FLAIR MR image.
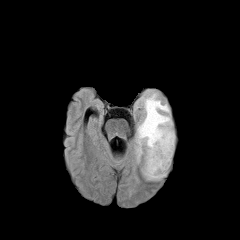
T1-weighted MR image.
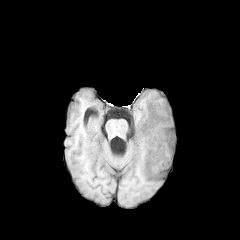
Post-contrast T1-weighted magnetic resonance.
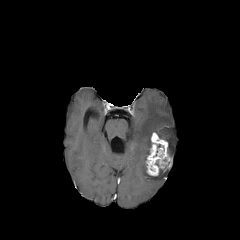
T2-weighted MR.
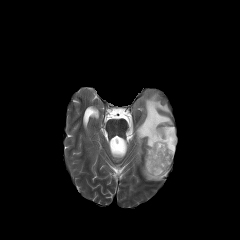
Image size 240x240
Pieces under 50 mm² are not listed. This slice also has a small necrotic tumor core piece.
Segmented structures:
• peritumoral edema: (143,166,168,180), (136,93,175,160)
• enhancing tumor: (145,132,172,176)